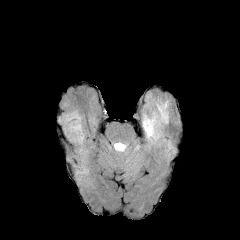
FLAIR MR.
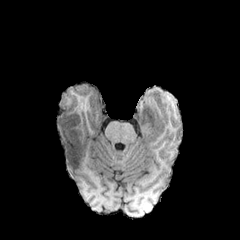
T1-weighted MRI.
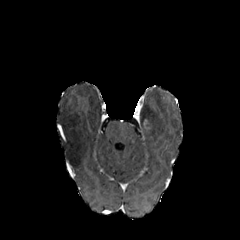
Post-contrast T1-weighted magnetic resonance.
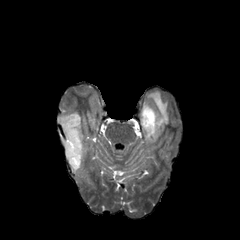
T2-weighted MR.
Axial view, Brain, Image size 240x240
peritumoral edema at x1=57 y1=111 x2=89 y2=184, x1=142 y1=94 x2=169 y2=136
enhancing tumor at x1=143 y1=119 x2=151 y2=129